Brain | Image size 240x240
FLAIR MR.
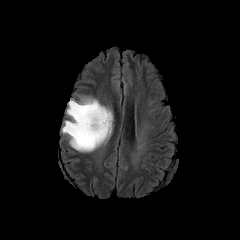
T1-weighted MR.
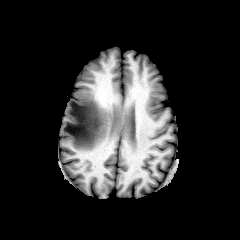
Post-contrast T1-weighted MR image.
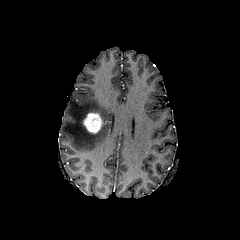
T2-weighted magnetic resonance.
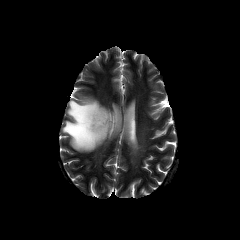
The peritumoral edema appears at l=62, t=98, r=112, b=152. The enhancing tumor is located at l=82, t=112, r=104, b=133.